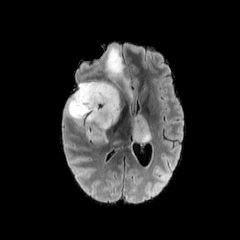
FLAIR MRI.
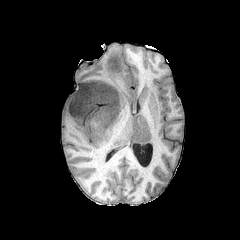
Same slice, T1-weighted MR.
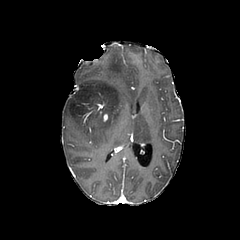
Post-contrast T1-weighted MRI.
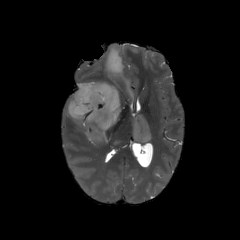
T2-weighted magnetic resonance of the same slice.
Brain
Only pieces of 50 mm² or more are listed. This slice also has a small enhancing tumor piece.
peritumoral_edema:
  - l=66, t=80, r=122, b=147
  - l=105, t=47, r=138, b=102
  - l=130, t=114, r=153, b=144